Axial view | Slice 101/155 | Brain
FLAIR magnetic resonance.
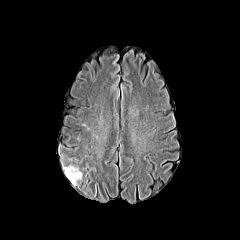
T1-weighted magnetic resonance.
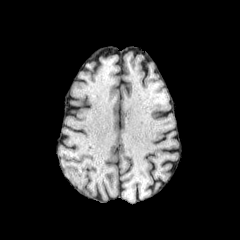
Post-contrast T1-weighted MRI.
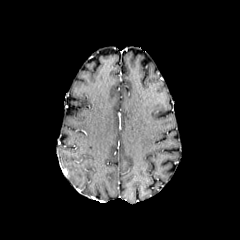
T2-weighted MR.
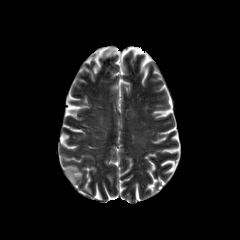
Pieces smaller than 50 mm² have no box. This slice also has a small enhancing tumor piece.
peritumoral edema — x1=63 y1=165 x2=82 y2=185